Brain; Axial view
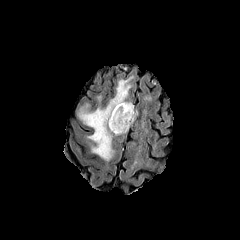
FLAIR magnetic resonance.
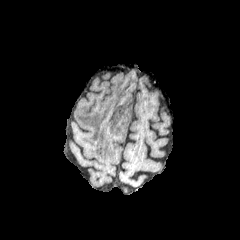
T1-weighted magnetic resonance.
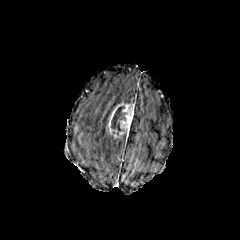
Post-contrast T1-weighted MR of the same slice.
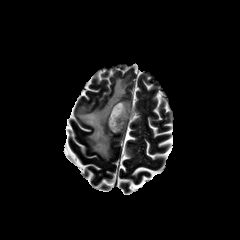
T2-weighted magnetic resonance.
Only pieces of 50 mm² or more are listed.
enhancing tumor: [107,102,134,137] | necrotic tumor core: [111,106,125,134] | peritumoral edema: [78,79,130,161]